Head; Axial plane; Image covers 240 mm x 240 mm
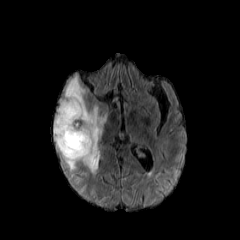
FLAIR MR image.
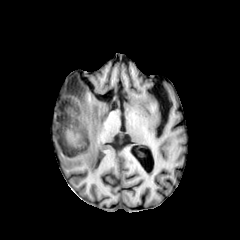
Same slice, T1-weighted MRI.
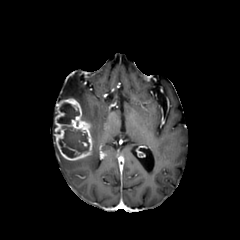
Post-contrast T1-weighted MR image.
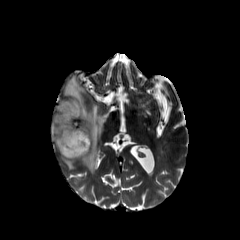
Same slice, T2-weighted magnetic resonance.
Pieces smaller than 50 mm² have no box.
The 2 largest necrotic tumor core regions appear at (57,103,79,124), (59,126,89,157). The largest enhancing tumor region is bounded by (54,98,92,160). The largest peritumoral edema region is bounded by (61,75,107,174).